Head
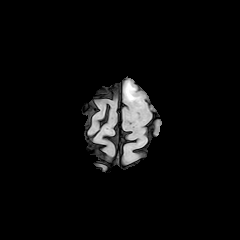
FLAIR MR.
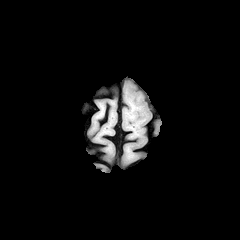
T1-weighted MR image.
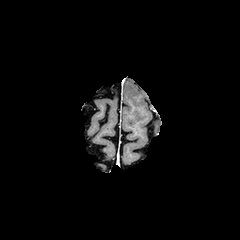
Post-contrast T1-weighted MR image.
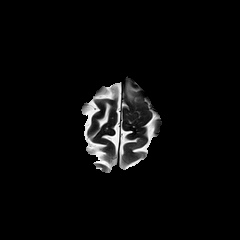
T2-weighted magnetic resonance.
peritumoral_edema:
  - [126, 82, 135, 100]